Axial view
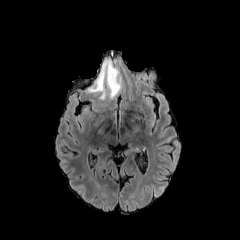
FLAIR MR image.
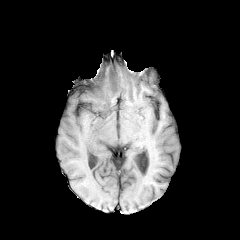
T1-weighted MR.
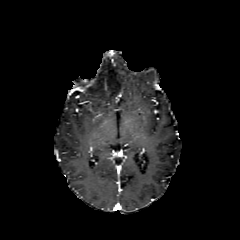
Post-contrast T1-weighted MRI.
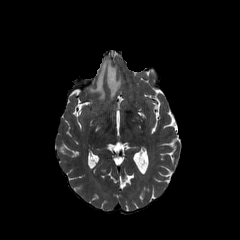
T2-weighted MRI.
<segmentation>
  <peritumoral_edema>x1=88 y1=59 x2=122 y2=100</peritumoral_edema>
</segmentation>